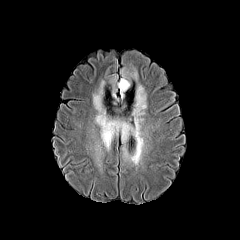
FLAIR MR image.
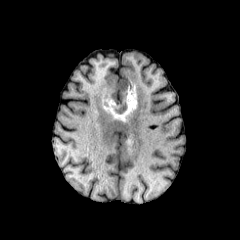
T1-weighted MR of the same slice.
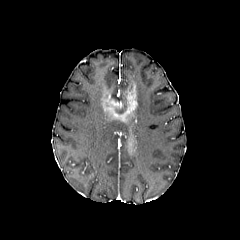
Same slice, post-contrast T1-weighted MRI.
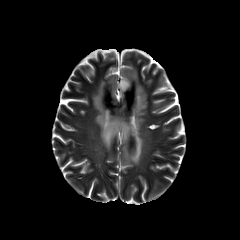
T2-weighted magnetic resonance of the same slice.
Axial plane
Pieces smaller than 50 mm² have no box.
{
  "peritumoral_edema": [
    "93 80 146 164",
    "118 69 137 97"
  ]
}